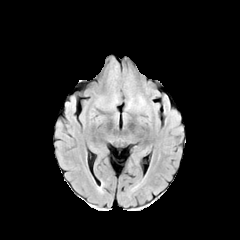
FLAIR MRI.
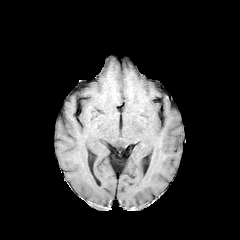
T1-weighted magnetic resonance of the same slice.
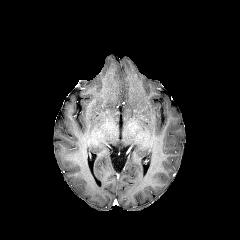
Post-contrast T1-weighted MRI of the same slice.
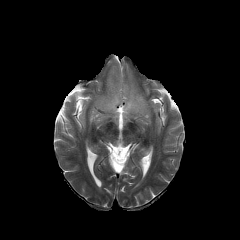
T2-weighted MRI.
Axial plane, Brain, 240x240 px
peritumoral edema: bounding box [126,91,146,110], [108,94,118,107]